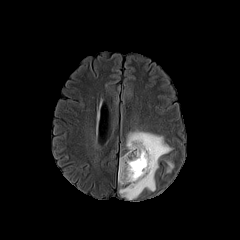
FLAIR MRI.
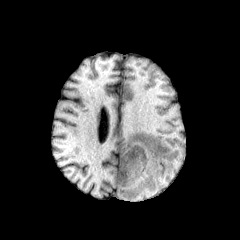
T1-weighted MRI of the same slice.
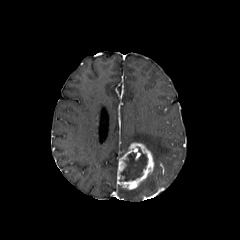
Post-contrast T1-weighted MRI.
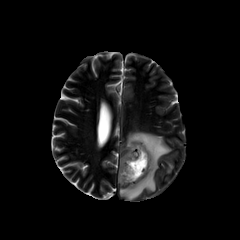
T2-weighted magnetic resonance.
240x240 px | Axial slice
{"enhancing_tumor": ["[117, 142, 154, 189]"], "peritumoral_edema": ["[119, 130, 171, 200]", "[167, 161, 173, 172]"], "necrotic_tumor_core": ["[120, 148, 147, 181]"]}